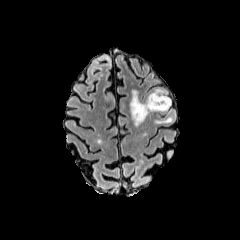
FLAIR MR.
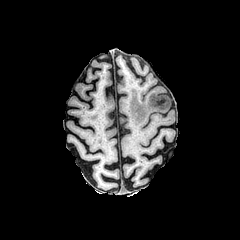
T1-weighted MR image.
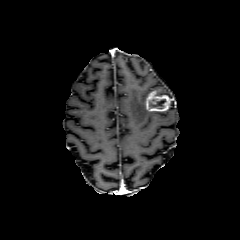
Post-contrast T1-weighted magnetic resonance of the same slice.
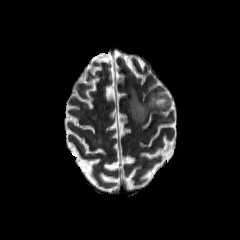
T2-weighted magnetic resonance of the same slice.
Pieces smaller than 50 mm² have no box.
<segmentation>
  <peritumoral_edema>(left=130, top=90, right=153, bottom=125), (left=155, top=118, right=171, bottom=123), (left=154, top=88, right=166, bottom=94)</peritumoral_edema>
  <enhancing_tumor>(left=145, top=91, right=171, bottom=111)</enhancing_tumor>
  <necrotic_tumor_core>(left=148, top=98, right=165, bottom=108)</necrotic_tumor_core>
</segmentation>